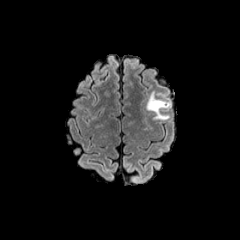
FLAIR MR image.
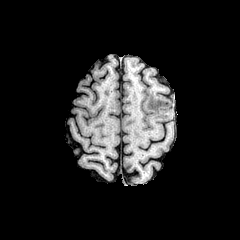
T1-weighted magnetic resonance.
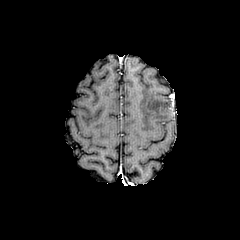
Post-contrast T1-weighted MR of the same slice.
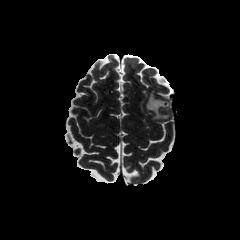
T2-weighted MRI.
Brain
The peritumoral edema appears at [146, 91, 171, 119].